Slice 87/155 | Image width 240 mm | Axial view
FLAIR MR image.
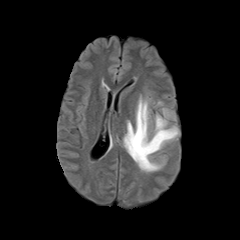
T1-weighted MR.
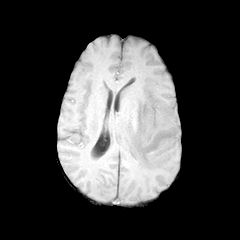
Post-contrast T1-weighted MR image.
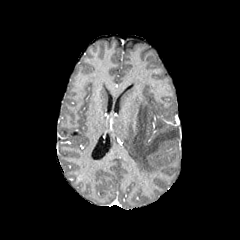
T2-weighted MR image.
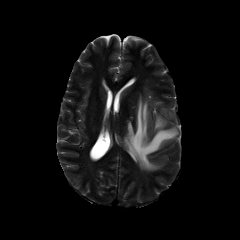
{"peritumoral_edema": ["(left=123, top=94, right=179, bottom=172)"]}